Axial slice; Brain
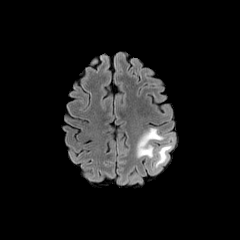
FLAIR MR.
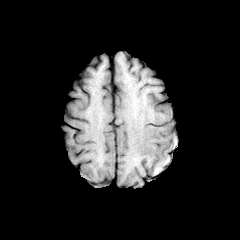
T1-weighted MRI.
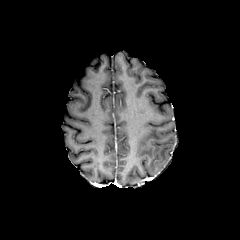
Post-contrast T1-weighted MRI.
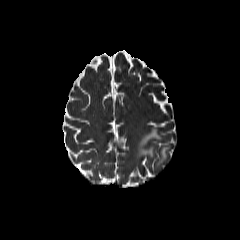
T2-weighted magnetic resonance of the same slice.
peritumoral edema — <bbox>155, 145, 171, 167</bbox>, <bbox>136, 128, 164, 157</bbox>